Brain. Axial plane.
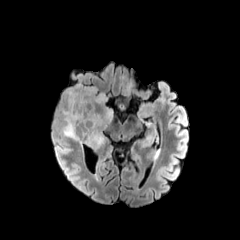
FLAIR magnetic resonance.
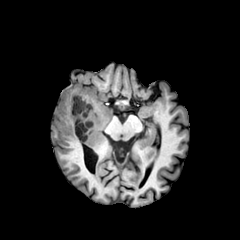
Same slice, T1-weighted MRI.
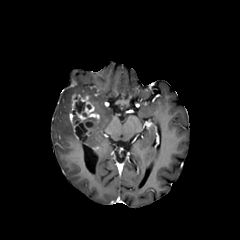
Post-contrast T1-weighted MR image.
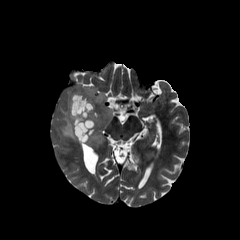
Same slice, T2-weighted magnetic resonance.
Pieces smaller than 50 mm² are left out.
necrotic tumor core — 73:101:83:114, 75:123:86:140
peritumoral edema — 61:88:112:147
enhancing tumor — 69:94:99:139